FLAIR MRI.
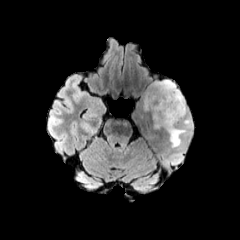
T1-weighted magnetic resonance.
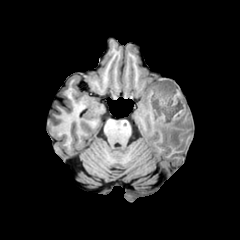
Post-contrast T1-weighted MR.
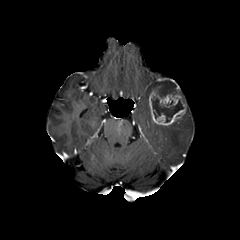
T2-weighted MRI.
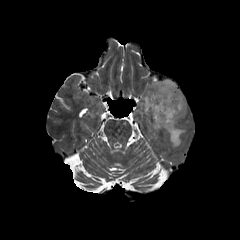
Image size 240x240, Brain, Axial plane
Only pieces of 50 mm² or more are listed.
<segmentation>
  <necrotic_tumor_core>left=151, top=98, right=183, bottom=122</necrotic_tumor_core>
  <enhancing_tumor>left=148, top=86, right=186, bottom=125</enhancing_tumor>
  <peritumoral_edema>left=163, top=120, right=186, bottom=147; left=144, top=96, right=149, bottom=111; left=152, top=80, right=181, bottom=95; left=183, top=119, right=191, bottom=126</peritumoral_edema>
</segmentation>